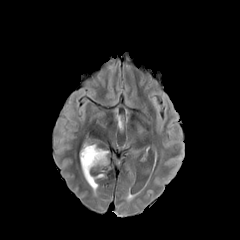
FLAIR MR image.
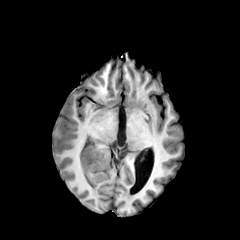
Same slice, T1-weighted MR image.
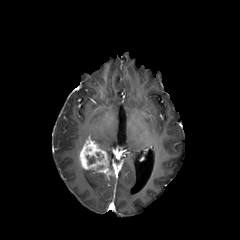
Post-contrast T1-weighted MR image of the same slice.
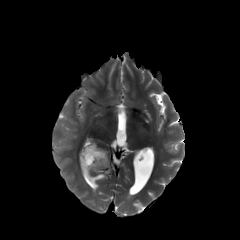
Same slice, T2-weighted MR.
Head
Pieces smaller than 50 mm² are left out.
Annotated regions:
• peritumoral edema: {"x1": 82, "y1": 168, "x2": 103, "y2": 191}
• necrotic tumor core: {"x1": 86, "y1": 155, "x2": 94, "y2": 164}
• enhancing tumor: {"x1": 79, "y1": 139, "x2": 110, "y2": 178}